Brain, 240x240 px
FLAIR MR.
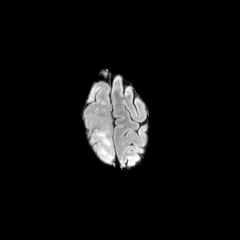
T1-weighted MR image.
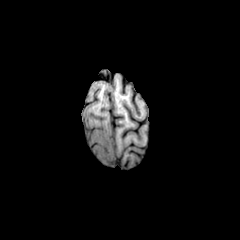
Post-contrast T1-weighted magnetic resonance.
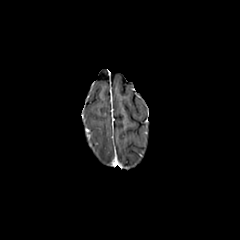
T2-weighted MRI.
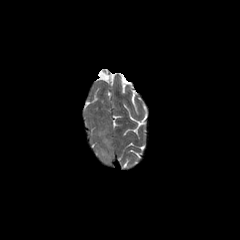
{
  "peritumoral_edema": [
    "rect(94, 126, 113, 161)"
  ]
}